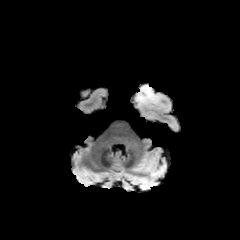
FLAIR magnetic resonance.
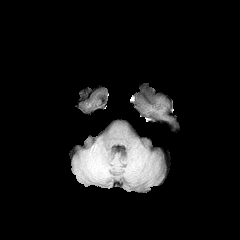
T1-weighted magnetic resonance of the same slice.
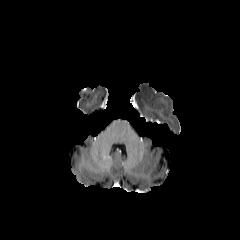
Same slice, post-contrast T1-weighted MRI.
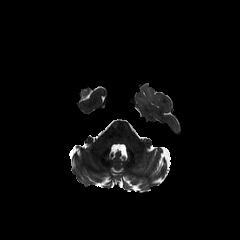
Same slice, T2-weighted MR.
Head. Image size 240x240.
{"peritumoral_edema": ["(x1=138, y1=85, x2=157, y2=103)"]}